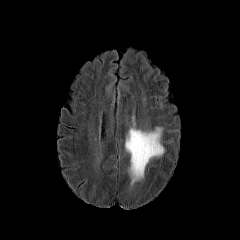
FLAIR MR image.
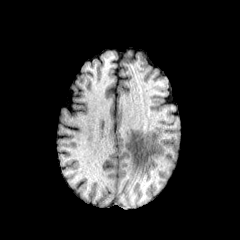
T1-weighted MRI.
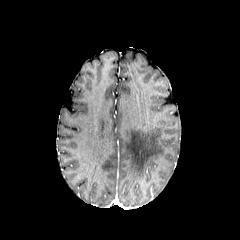
Post-contrast T1-weighted MRI of the same slice.
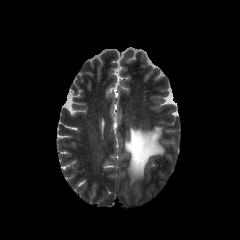
T2-weighted magnetic resonance of the same slice.
Axial view. Brain.
{"peritumoral_edema": ["x1=125 y1=127 x2=164 y2=184"]}